Image width 240 mm; 240x240 px; Axial slice
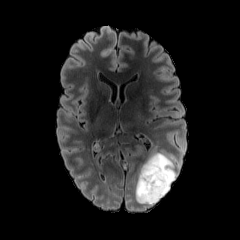
FLAIR MR.
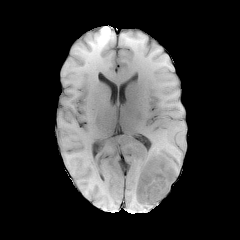
T1-weighted magnetic resonance.
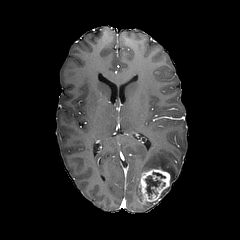
Post-contrast T1-weighted MR.
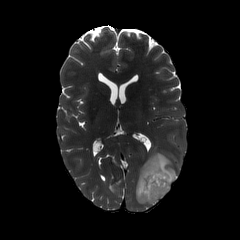
T2-weighted MR image.
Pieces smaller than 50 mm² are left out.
{"necrotic_tumor_core": ["box(145, 176, 160, 195)"], "peritumoral_edema": ["box(135, 152, 178, 206)"], "enhancing_tumor": ["box(139, 169, 170, 203)"]}